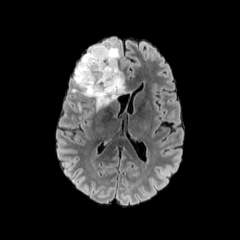
FLAIR MR.
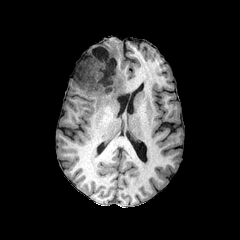
T1-weighted magnetic resonance.
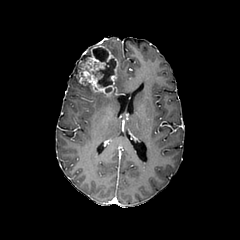
Same slice, post-contrast T1-weighted MR image.
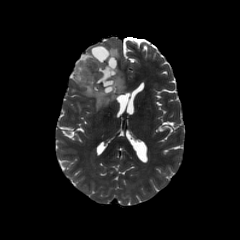
T2-weighted magnetic resonance.
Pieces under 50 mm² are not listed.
necrotic_tumor_core:
  - {"x1": 92, "y1": 47, "x2": 115, "y2": 86}
enhancing_tumor:
  - {"x1": 77, "y1": 43, "x2": 117, "y2": 95}
peritumoral_edema:
  - {"x1": 106, "y1": 46, "x2": 119, "y2": 58}
  - {"x1": 73, "y1": 62, "x2": 125, "y2": 110}
  - {"x1": 81, "y1": 47, "x2": 91, "y2": 60}